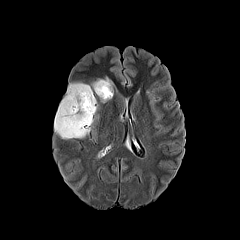
FLAIR magnetic resonance.
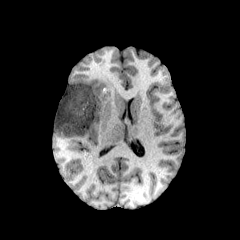
T1-weighted MR image of the same slice.
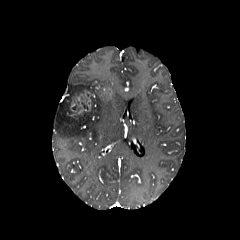
Post-contrast T1-weighted MR of the same slice.
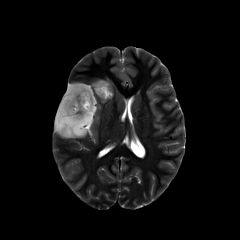
Same slice, T2-weighted magnetic resonance.
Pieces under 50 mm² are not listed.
peritumoral edema: [93,78,113,103], [92,98,98,115], [54,82,93,139] | necrotic tumor core: [71,96,94,132] | enhancing tumor: [70,90,93,115]